FLAIR MRI.
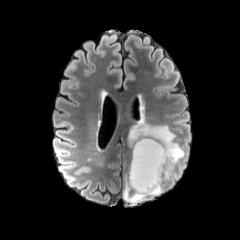
T1-weighted MR image.
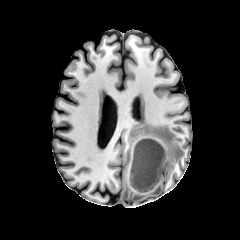
Post-contrast T1-weighted MRI.
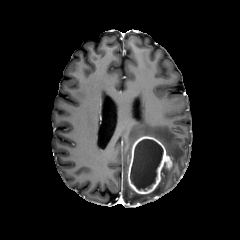
T2-weighted MR image.
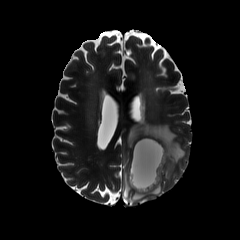
The necrotic tumor core is located at 130,139,163,190. The peritumoral edema is located at 123,119,185,204. The enhancing tumor lies within 128,136,171,194.